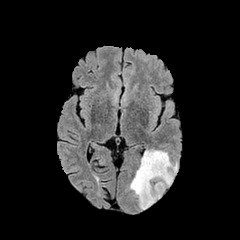
FLAIR magnetic resonance.
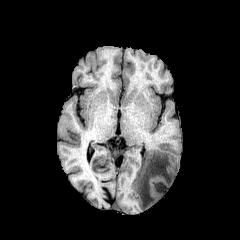
T1-weighted magnetic resonance.
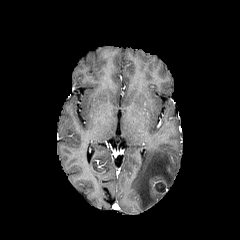
Post-contrast T1-weighted magnetic resonance.
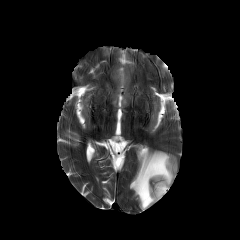
Same slice, T2-weighted MRI.
Axial plane.
The necrotic tumor core lies within 154,182,165,193. The enhancing tumor lies within 152,180,167,194. The peritumoral edema is located at 129,149,177,209.